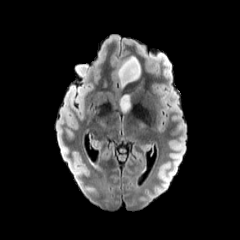
FLAIR MR.
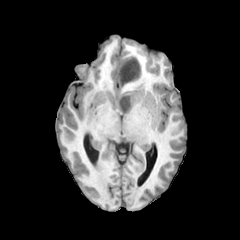
T1-weighted MR image.
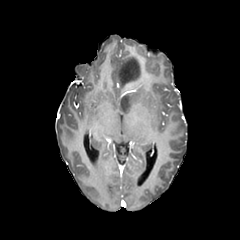
Post-contrast T1-weighted magnetic resonance.
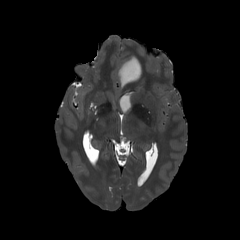
T2-weighted MR image.
Head | Axial slice
peritumoral edema: (119,94,130,111), (118,56,141,85)